FLAIR MR.
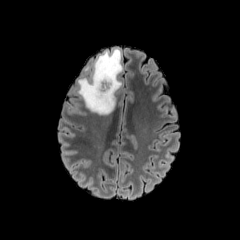
T1-weighted MRI.
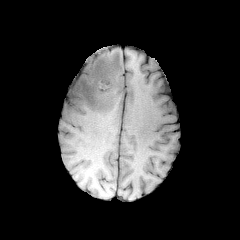
Post-contrast T1-weighted MR.
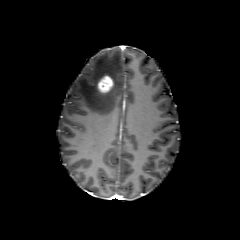
T2-weighted MRI.
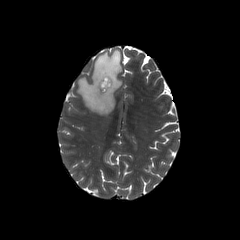
Head; 240x240 px
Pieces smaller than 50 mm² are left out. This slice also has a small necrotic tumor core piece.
enhancing tumor — (x1=97, y1=75, x2=113, y2=93)
peritumoral edema — (x1=75, y1=48, x2=122, y2=115)